FLAIR MRI.
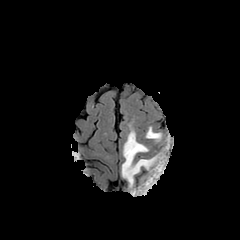
T1-weighted magnetic resonance.
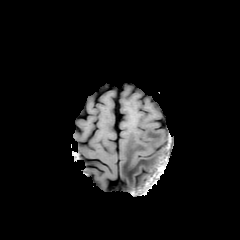
Post-contrast T1-weighted MR.
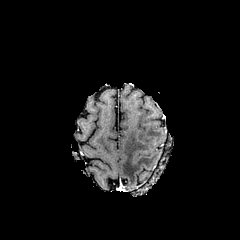
T2-weighted MRI.
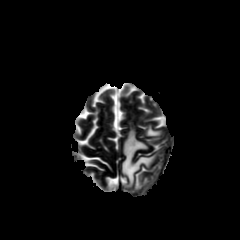
Head; Image size 240x240
{"peritumoral_edema": ["box=[146, 126, 162, 140]", "box=[121, 129, 162, 188]"]}